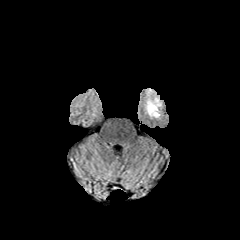
FLAIR MRI.
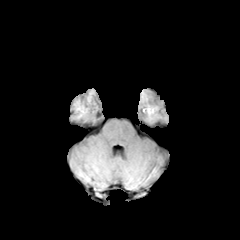
T1-weighted MRI.
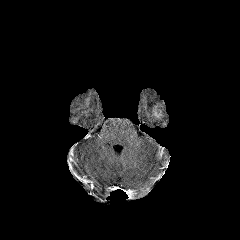
Post-contrast T1-weighted MR image.
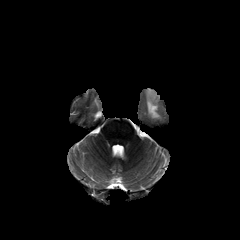
Same slice, T2-weighted MR image.
Head. 240x240 px. Axial view.
Annotated regions:
• peritumoral edema: (left=144, top=88, right=163, bottom=119)
• enhancing tumor: (left=152, top=103, right=162, bottom=118)